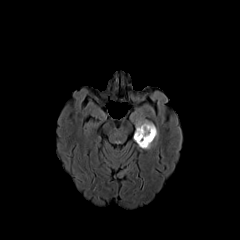
FLAIR magnetic resonance.
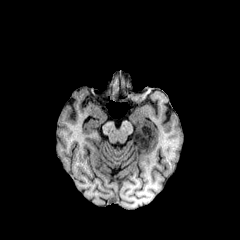
T1-weighted MRI of the same slice.
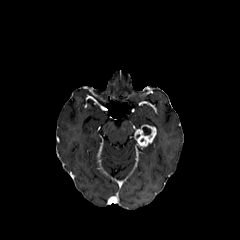
Post-contrast T1-weighted magnetic resonance of the same slice.
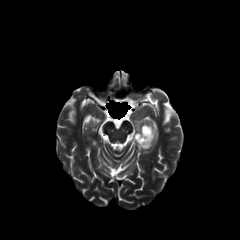
Same slice, T2-weighted magnetic resonance.
Axial view; Brain; Image size 240x240
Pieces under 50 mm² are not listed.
necrotic_tumor_core:
  - [x1=142, y1=127, x2=151, y2=135]
enhancing_tumor:
  - [x1=134, y1=124, x2=156, y2=149]
peritumoral_edema:
  - [x1=135, y1=117, x2=154, y2=128]
  - [x1=143, y1=129, x2=158, y2=149]